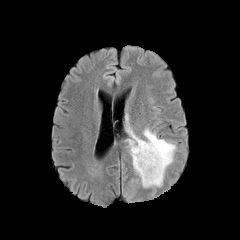
FLAIR MR image.
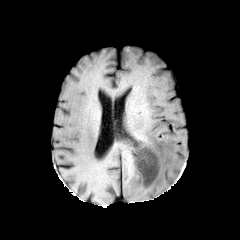
T1-weighted MR of the same slice.
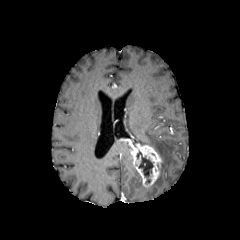
Post-contrast T1-weighted magnetic resonance.
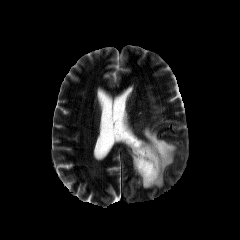
T2-weighted MR.
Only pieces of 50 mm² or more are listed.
The enhancing tumor appears at [119,138,162,187]. The largest peritumoral edema region appears at [125,114,176,187]. The largest necrotic tumor core region is bounded by [137,151,153,183].